Head
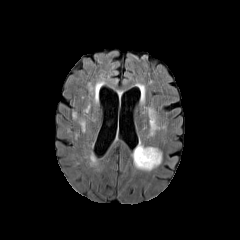
FLAIR MR image.
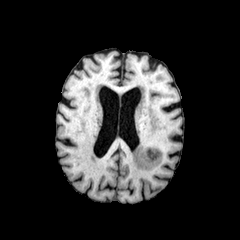
Same slice, T1-weighted MR image.
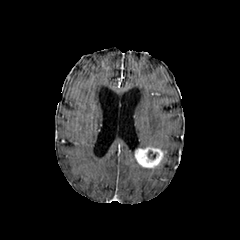
Post-contrast T1-weighted MR.
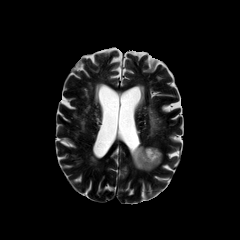
T2-weighted magnetic resonance.
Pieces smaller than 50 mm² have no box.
enhancing tumor: 135:147:163:168 | peritumoral edema: 148:108:159:135, 131:142:152:171 | necrotic tumor core: 147:150:156:159